FLAIR MR.
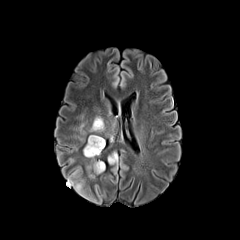
T1-weighted MRI.
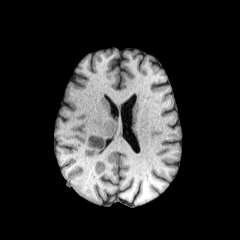
Post-contrast T1-weighted MR.
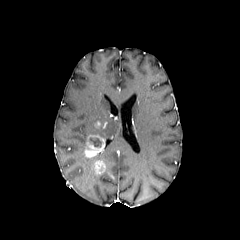
T2-weighted MRI.
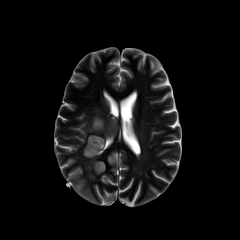
Head
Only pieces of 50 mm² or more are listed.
The 2 largest peritumoral edema regions are located at (108, 152, 117, 164), (90, 117, 103, 131). The necrotic tumor core is at (89, 137, 101, 147). The 2 largest enhancing tumor regions are bounded by (94, 161, 105, 174), (85, 135, 104, 157).